Brain, Slice 73/155
FLAIR magnetic resonance.
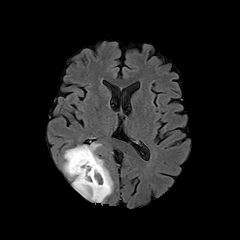
T1-weighted magnetic resonance.
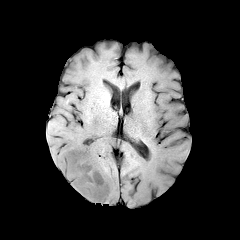
Post-contrast T1-weighted MRI.
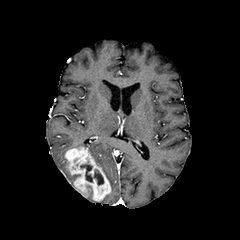
T2-weighted MR.
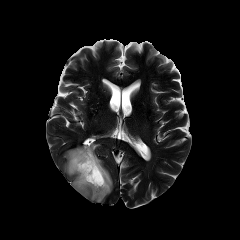
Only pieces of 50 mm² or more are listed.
<segmentation>
  <necrotic_tumor_core><bbox>80, 164, 103, 185</bbox></necrotic_tumor_core>
  <peritumoral_edema><bbox>63, 159, 80, 180</bbox>, <bbox>87, 190, 104, 202</bbox>, <bbox>75, 143, 113, 192</bbox></peritumoral_edema>
  <enhancing_tumor><bbox>65, 147, 111, 201</bbox></enhancing_tumor>
</segmentation>